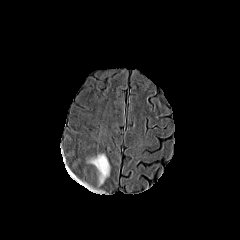
FLAIR MR.
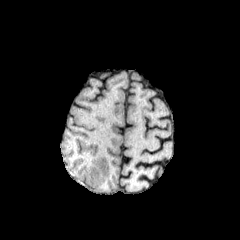
T1-weighted MRI.
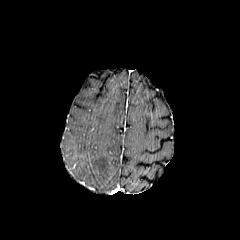
Post-contrast T1-weighted magnetic resonance.
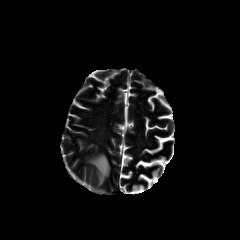
Same slice, T2-weighted MRI.
Brain, 240x240
The peritumoral edema lies within l=88, t=154, r=109, b=185.